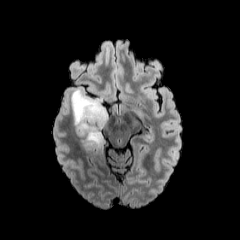
FLAIR MRI.
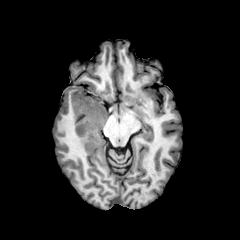
Same slice, T1-weighted MRI.
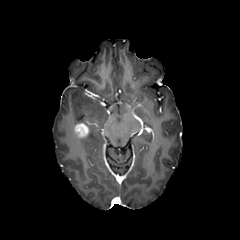
Same slice, post-contrast T1-weighted magnetic resonance.
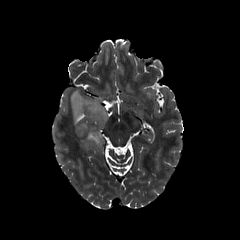
T2-weighted magnetic resonance.
Axial view. 240x240.
enhancing tumor: bbox=[74, 122, 89, 137]
peritumoral edema: bbox=[71, 89, 107, 151]